Brain, Axial slice, Slice 119/155
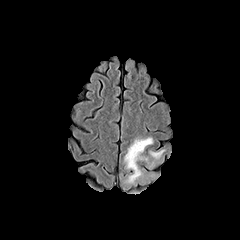
FLAIR MR image.
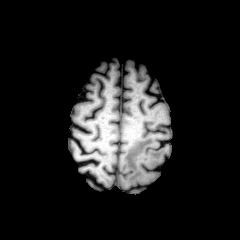
Same slice, T1-weighted MR image.
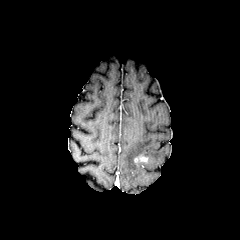
Same slice, post-contrast T1-weighted MRI.
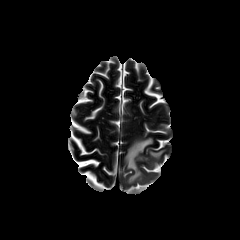
T2-weighted MR image.
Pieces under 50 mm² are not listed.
{"enhancing_tumor": ["(134,155,148,162)"], "peritumoral_edema": ["(148,148,167,167)", "(124,137,153,184)"]}